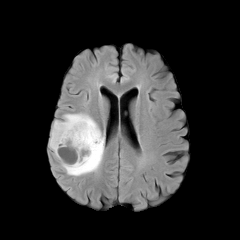
FLAIR magnetic resonance.
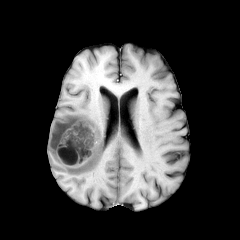
T1-weighted MR.
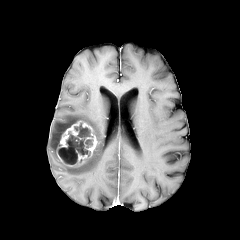
Post-contrast T1-weighted MRI.
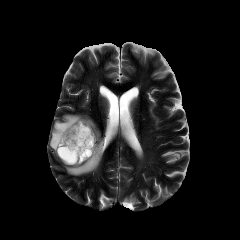
T2-weighted magnetic resonance.
Axial plane | Image size 240x240 | Head
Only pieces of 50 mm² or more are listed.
<segmentation>
  <enhancing_tumor>[x1=56, y1=120, x2=97, y2=166]</enhancing_tumor>
  <peritumoral_edema>[x1=49, y1=113, x2=104, y2=176]</peritumoral_edema>
  <necrotic_tumor_core>[x1=58, y1=123, x2=92, y2=164], [x1=85, y1=139, x2=92, y2=147]</necrotic_tumor_core>
</segmentation>